Axial slice | Image size 240x240 | Slice 112/155 | Brain | Image covers 240 mm x 240 mm
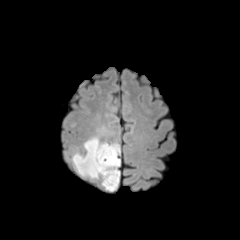
FLAIR MR image.
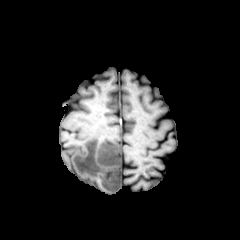
Same slice, T1-weighted MRI.
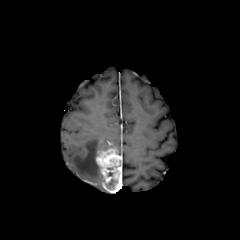
Post-contrast T1-weighted magnetic resonance of the same slice.
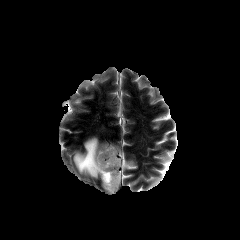
Same slice, T2-weighted magnetic resonance.
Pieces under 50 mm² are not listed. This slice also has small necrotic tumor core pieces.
peritumoral edema = [73, 137, 119, 181]
enhancing tumor = [96, 147, 121, 192]